Axial slice; Head; 240x240 px; Slice index 89
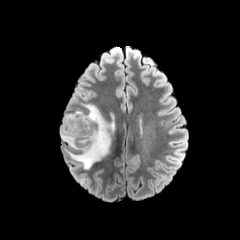
FLAIR magnetic resonance.
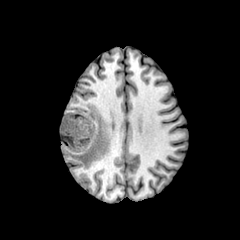
Same slice, T1-weighted MR image.
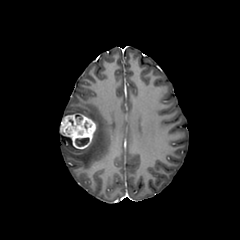
Same slice, post-contrast T1-weighted MR.
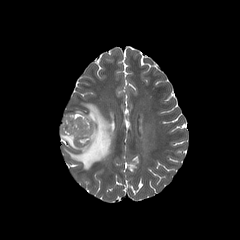
T2-weighted MRI.
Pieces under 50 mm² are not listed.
{
  "necrotic_tumor_core": [
    "(75, 137, 89, 146)"
  ],
  "peritumoral_edema": [
    "(60, 104, 111, 169)"
  ],
  "enhancing_tumor": [
    "(60, 113, 96, 149)"
  ]
}